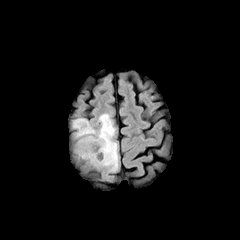
FLAIR MR image.
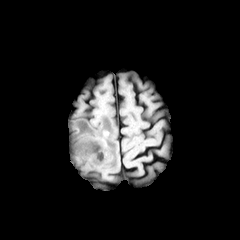
Same slice, T1-weighted MR image.
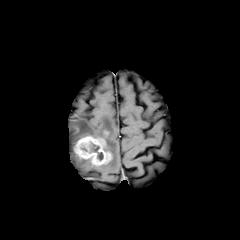
Same slice, post-contrast T1-weighted MR image.
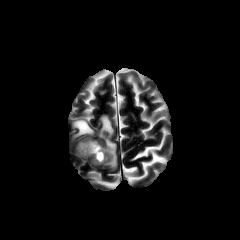
Same slice, T2-weighted magnetic resonance.
240x240 px. Brain. Axial slice.
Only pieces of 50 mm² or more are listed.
necrotic_tumor_core:
  - box(91, 144, 103, 160)
peritumoral_edema:
  - box(72, 114, 118, 171)
enhancing_tumor:
  - box(74, 136, 112, 165)